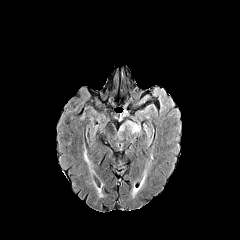
FLAIR MR.
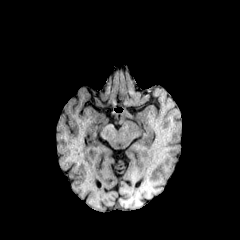
T1-weighted MRI.
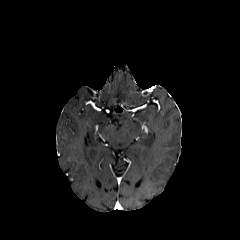
Same slice, post-contrast T1-weighted MRI.
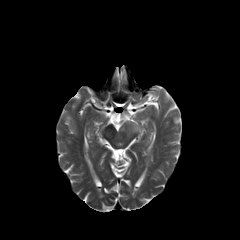
T2-weighted MR.
Axial slice, Image size 240x240, Head
The peritumoral edema appears at left=118, top=120, right=140, bottom=134.